240x240. Axial slice. Slice index 45. Image width 240 mm.
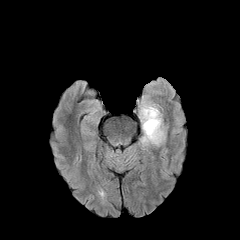
FLAIR MR.
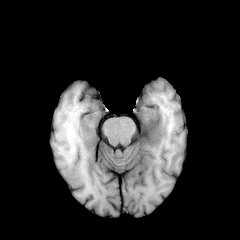
Same slice, T1-weighted magnetic resonance.
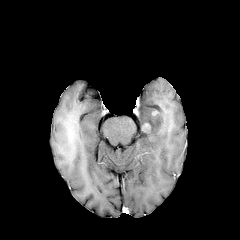
Post-contrast T1-weighted MRI.
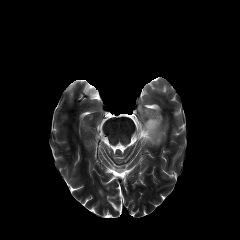
T2-weighted MRI of the same slice.
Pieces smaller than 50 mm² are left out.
<segmentation>
  <peritumoral_edema><bbox>140, 106, 165, 145</bbox></peritumoral_edema>
  <enhancing_tumor><bbox>151, 109, 159, 121</bbox>, <bbox>142, 122, 155, 141</bbox></enhancing_tumor>
</segmentation>